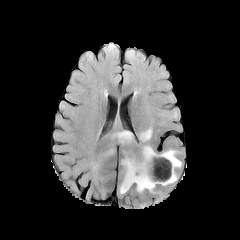
FLAIR MR.
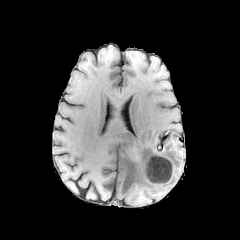
Same slice, T1-weighted magnetic resonance.
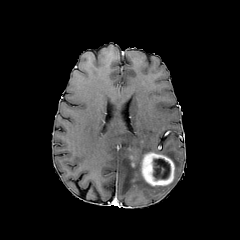
Post-contrast T1-weighted MR of the same slice.
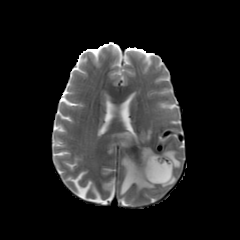
T2-weighted MRI.
240x240 | Brain | Axial plane
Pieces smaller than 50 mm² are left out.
necrotic tumor core: [153, 158, 170, 179]
enhancing tumor: [139, 152, 174, 185]
peritumoral edema: [139, 128, 152, 141], [114, 131, 133, 143], [120, 145, 155, 194], [160, 149, 181, 168]